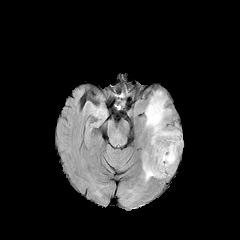
FLAIR MR.
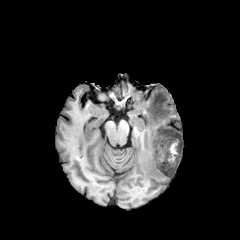
T1-weighted MRI of the same slice.
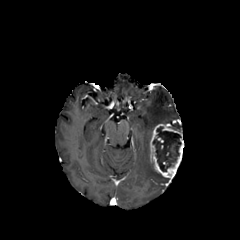
Post-contrast T1-weighted MR of the same slice.
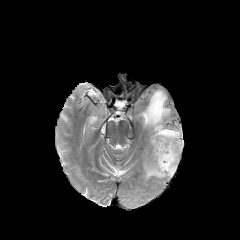
Same slice, T2-weighted MR image.
Axial plane, Head, 240x240 px
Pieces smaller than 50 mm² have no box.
necrotic tumor core — box(153, 127, 181, 171)
enhancing tumor — box(149, 124, 183, 177)
peritumoral edema — box(143, 152, 164, 180); box(145, 91, 170, 130)